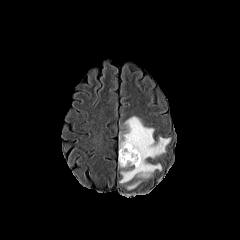
FLAIR MRI.
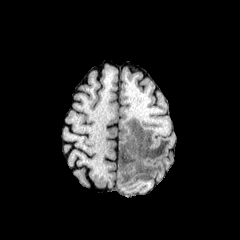
T1-weighted MRI.
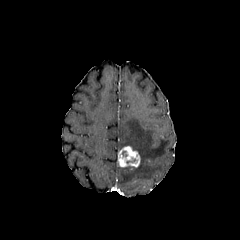
Post-contrast T1-weighted MRI.
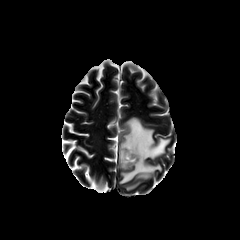
T2-weighted magnetic resonance.
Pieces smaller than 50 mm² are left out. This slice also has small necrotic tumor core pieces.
peritumoral edema: bounding box bbox=[126, 181, 141, 189]; bbox=[119, 116, 170, 184]
enhancing tumor: bounding box bbox=[118, 146, 140, 167]